Slice 87/155, Image covers 240 mm x 240 mm, Brain
FLAIR MR image.
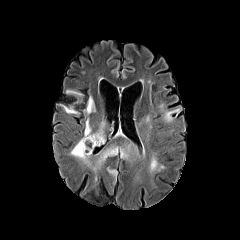
T1-weighted magnetic resonance.
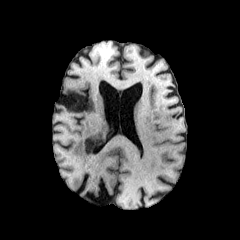
Post-contrast T1-weighted MR.
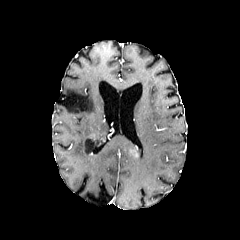
T2-weighted MRI.
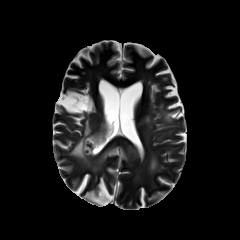
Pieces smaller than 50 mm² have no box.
<segmentation>
  <peritumoral_edema>[x1=93, y1=145, x2=117, y2=170], [x1=64, y1=106, x2=76, y2=114], [x1=162, y1=107, x2=179, y2=121], [x1=85, y1=96, x2=95, y2=113], [x1=70, y1=119, x2=105, y2=165], [x1=106, y1=166, x2=117, y2=186], [x1=67, y1=90, x2=81, y2=96], [x1=120, y1=149, x2=127, y2=158], [x1=149, y1=155, x2=158, y2=173]</peritumoral_edema>
  <enhancing_tumor>[x1=129, y1=149, x2=138, y2=158]</enhancing_tumor>
  <necrotic_tumor_core>[x1=85, y1=139, x2=93, y2=153]</necrotic_tumor_core>
</segmentation>